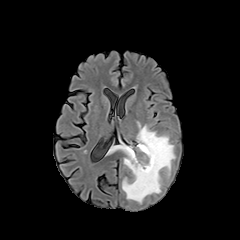
FLAIR magnetic resonance.
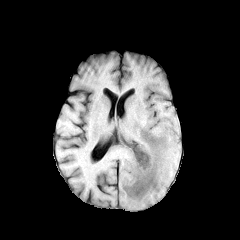
T1-weighted MR image.
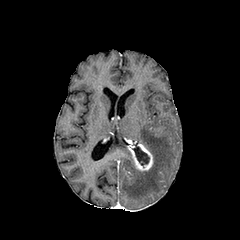
Post-contrast T1-weighted MR image of the same slice.
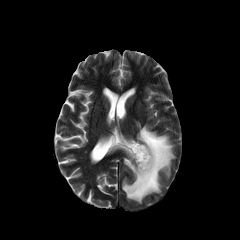
T2-weighted MR.
Brain; Image size 240x240
peritumoral edema: 111:122:175:203 | enhancing tumor: 128:143:153:171 | necrotic tumor core: 132:146:149:165